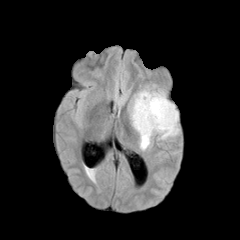
FLAIR magnetic resonance.
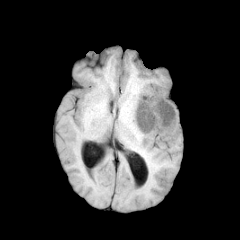
T1-weighted MRI.
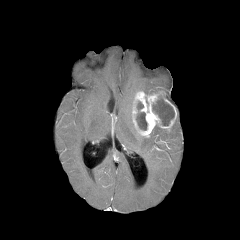
Post-contrast T1-weighted MR.
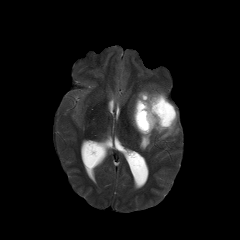
T2-weighted MR of the same slice.
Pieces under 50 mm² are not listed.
Annotated regions:
• peritumoral edema: box(140, 87, 165, 93); box(139, 113, 179, 150)
• necrotic tumor core: box(153, 98, 174, 125); box(136, 112, 147, 130)
• enhancing tumor: box(132, 90, 177, 137)